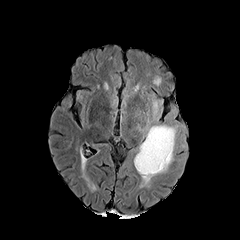
FLAIR MR.
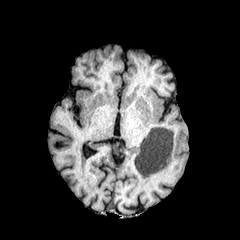
T1-weighted magnetic resonance.
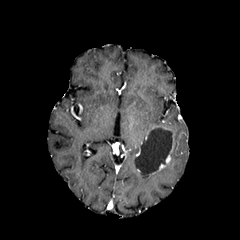
Post-contrast T1-weighted MR.
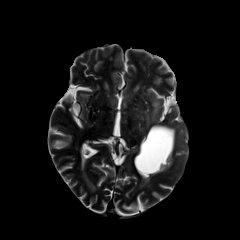
T2-weighted MR.
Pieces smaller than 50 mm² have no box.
<segmentation>
  <enhancing_tumor>box(158, 127, 174, 170)</enhancing_tumor>
  <peritumoral_edema>box(138, 153, 173, 184); box(152, 100, 159, 120); box(145, 124, 177, 149)</peritumoral_edema>
  <necrotic_tumor_core>box(136, 127, 172, 174)</necrotic_tumor_core>
</segmentation>